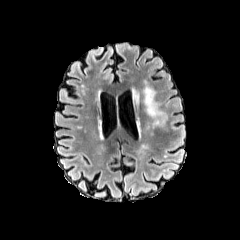
FLAIR magnetic resonance.
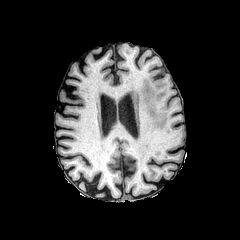
Same slice, T1-weighted MR.
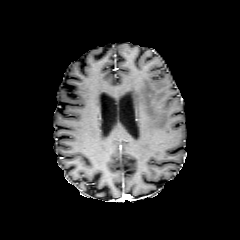
Post-contrast T1-weighted MRI of the same slice.
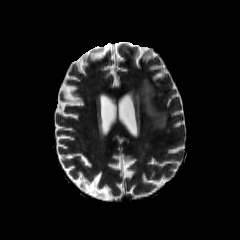
Same slice, T2-weighted MRI.
Head
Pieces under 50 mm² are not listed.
peritumoral_edema:
  - [133, 81, 165, 126]